FLAIR MRI.
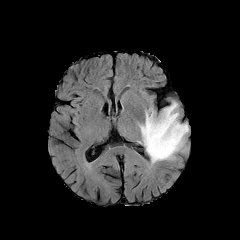
T1-weighted magnetic resonance.
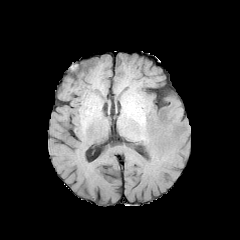
Post-contrast T1-weighted MRI.
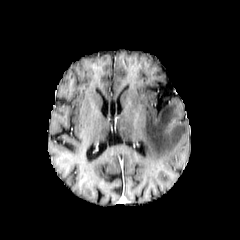
T2-weighted magnetic resonance.
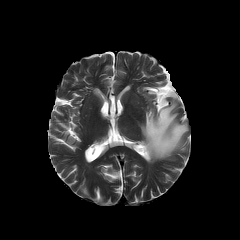
Head
peritumoral edema: bounding box box(139, 101, 188, 162)